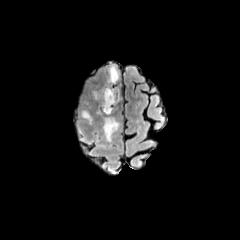
FLAIR MR image.
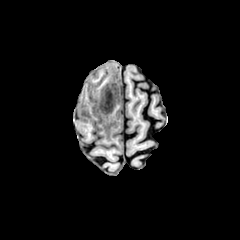
T1-weighted MRI.
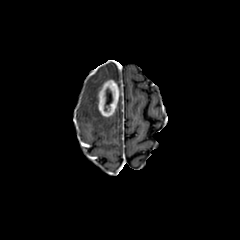
Post-contrast T1-weighted magnetic resonance of the same slice.
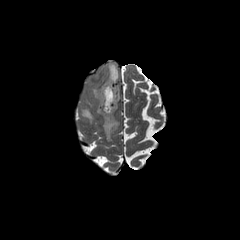
T2-weighted magnetic resonance of the same slice.
Axial view. 240x240 px.
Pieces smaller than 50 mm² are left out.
The enhancing tumor is at 98:80:119:116. The 3 largest peritumoral edema regions are located at 103:116:119:141, 82:110:92:123, 108:64:119:82. The necrotic tumor core is at 104:88:112:110.